FLAIR MR.
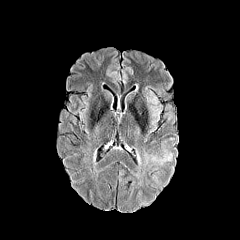
T1-weighted MRI.
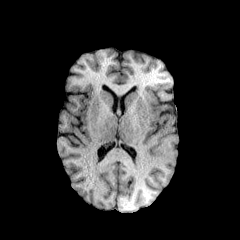
Post-contrast T1-weighted magnetic resonance.
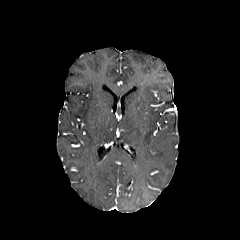
T2-weighted MR.
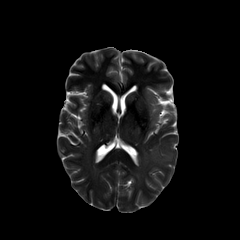
Brain, Axial view
The peritumoral edema lies within l=134, t=137, r=174, b=177.